240x240 px | Slice 94 of 155
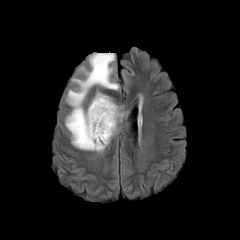
FLAIR magnetic resonance.
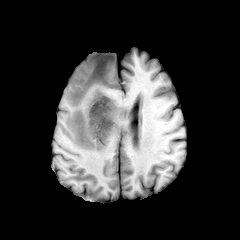
Same slice, T1-weighted MR.
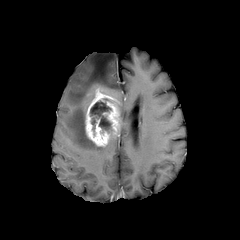
Post-contrast T1-weighted magnetic resonance.
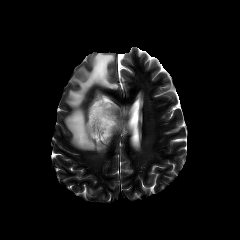
Same slice, T2-weighted MR image.
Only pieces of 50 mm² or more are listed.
enhancing tumor = bbox(85, 89, 120, 146)
peritumoral edema = bbox(65, 53, 118, 152)
necrotic tumor core = bbox(90, 101, 111, 131)